FLAIR MR.
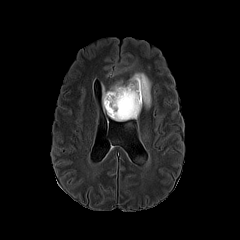
T1-weighted MR.
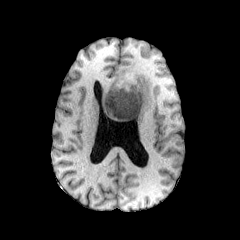
Post-contrast T1-weighted MRI.
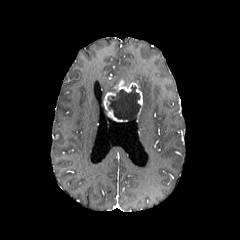
T2-weighted MR.
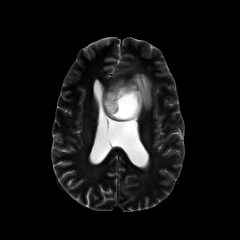
Axial slice
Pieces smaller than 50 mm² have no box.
{
  "enhancing_tumor": [
    "104:80:143:122"
  ],
  "peritumoral_edema": [
    "102:86:106:111",
    "127:73:151:108"
  ],
  "necrotic_tumor_core": [
    "106:86:140:120"
  ]
}